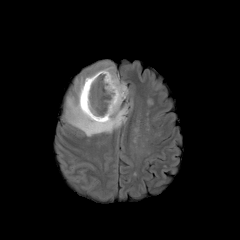
FLAIR MR.
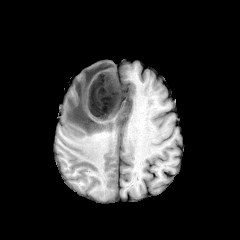
T1-weighted magnetic resonance.
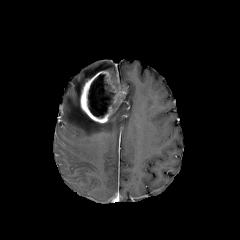
Same slice, post-contrast T1-weighted MR.
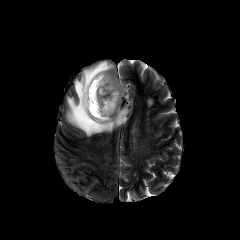
T2-weighted magnetic resonance.
Axial slice. Brain.
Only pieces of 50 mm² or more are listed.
necrotic tumor core: (x1=88, y1=74, x2=115, y2=117) | enhancing tumor: (x1=80, y1=70, x2=127, y2=123) | peritumoral edema: (x1=62, y1=61, x2=131, y2=136)